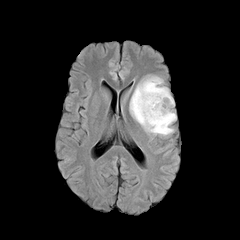
FLAIR magnetic resonance.
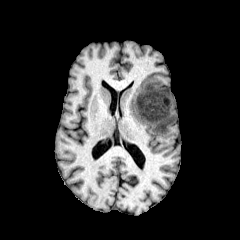
Same slice, T1-weighted MRI.
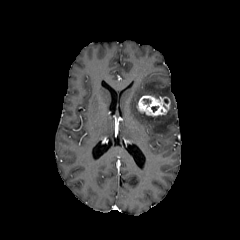
Post-contrast T1-weighted MRI.
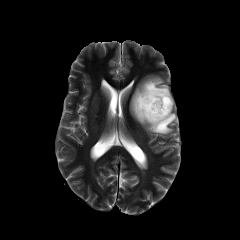
T2-weighted MRI.
Axial plane. Head.
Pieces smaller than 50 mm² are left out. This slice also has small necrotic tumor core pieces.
The enhancing tumor appears at x1=136, y1=95, x2=170, y2=116. The peritumoral edema lies within x1=130, y1=76, x2=176, y2=135.